Slice index 130
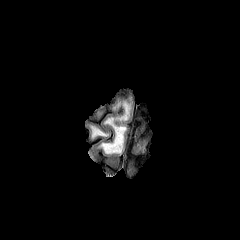
FLAIR MRI.
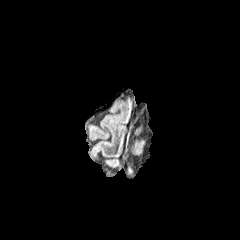
T1-weighted magnetic resonance.
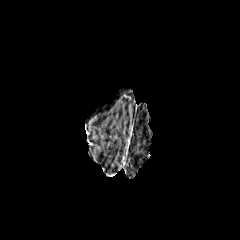
Same slice, post-contrast T1-weighted MRI.
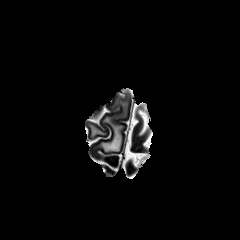
T2-weighted MR.
3 peritumoral edema regions appear at left=117, top=103, right=129, bottom=120; left=100, top=118, right=126, bottom=153; left=91, top=126, right=108, bottom=137.